Image width 240 mm | Slice 77 of 155 | Axial view | Head
FLAIR magnetic resonance.
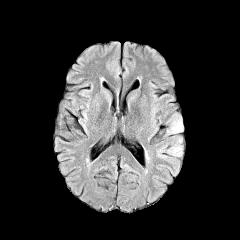
T1-weighted MR image.
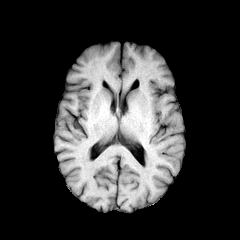
Post-contrast T1-weighted magnetic resonance.
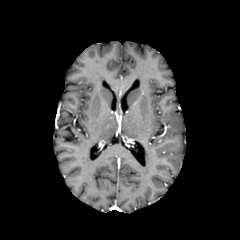
T2-weighted magnetic resonance.
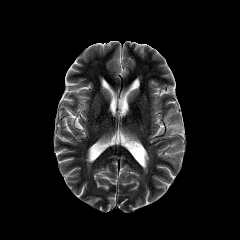
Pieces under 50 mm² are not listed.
The 2 largest peritumoral edema regions are bounded by l=156, t=135, r=184, b=173; l=164, t=113, r=184, b=135.